Slice 115 of 155 | Image size 240x240 | Brain
FLAIR MR image.
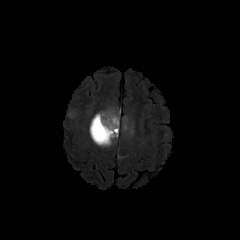
T1-weighted MR image.
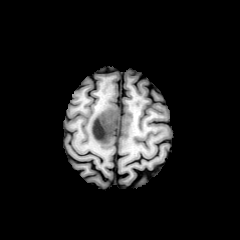
Post-contrast T1-weighted MR.
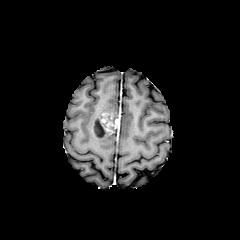
T2-weighted magnetic resonance.
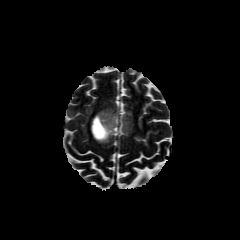
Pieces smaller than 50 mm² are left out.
necrotic tumor core — (93, 117, 106, 138)
peritumoral edema — (122, 118, 134, 137), (89, 108, 119, 146)
enhancing tumor — (91, 113, 119, 139)